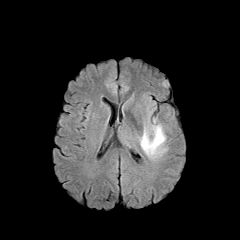
FLAIR MRI.
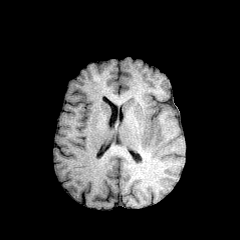
T1-weighted magnetic resonance.
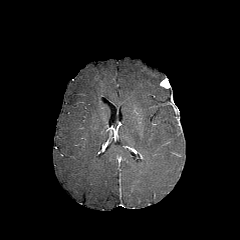
Same slice, post-contrast T1-weighted MR image.
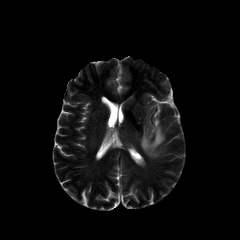
T2-weighted MRI.
Image size 240x240
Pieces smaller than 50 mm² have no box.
The largest peritumoral edema region appears at box=[140, 124, 165, 157].